Axial slice | Slice 85 of 155 | Head
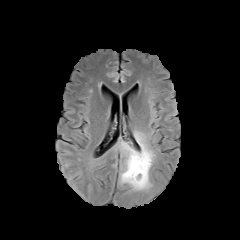
FLAIR magnetic resonance.
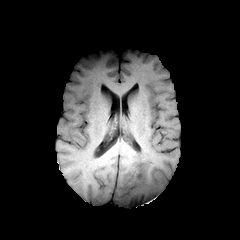
T1-weighted MR of the same slice.
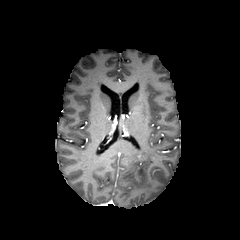
Post-contrast T1-weighted MR of the same slice.
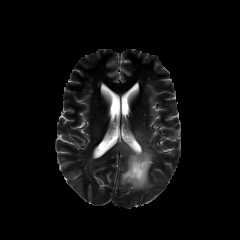
T2-weighted magnetic resonance.
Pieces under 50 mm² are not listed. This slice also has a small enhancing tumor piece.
The peritumoral edema appears at [120, 131, 154, 190].